Image covers 240 mm x 240 mm. Head. Axial view.
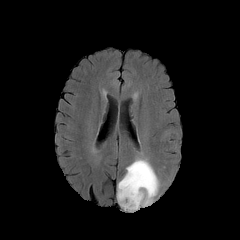
FLAIR MR image.
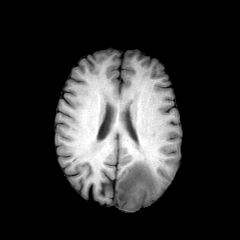
Same slice, T1-weighted MRI.
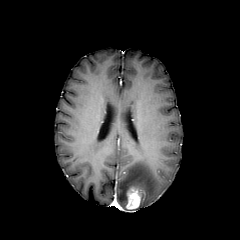
Post-contrast T1-weighted MR.
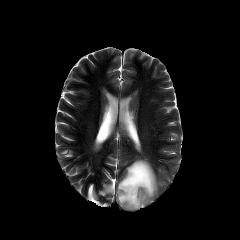
T2-weighted magnetic resonance of the same slice.
peritumoral edema: bounding box (x1=117, y1=159, x2=159, y2=211)
enhancing tumor: bounding box (x1=127, y1=190, x2=141, y2=208)